FLAIR magnetic resonance.
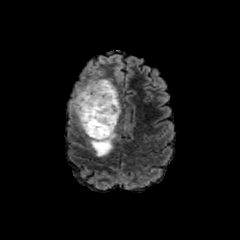
T1-weighted MRI.
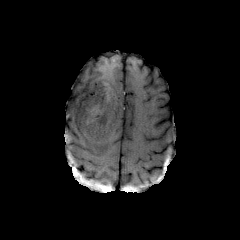
Post-contrast T1-weighted magnetic resonance.
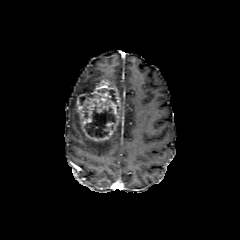
T2-weighted MR image.
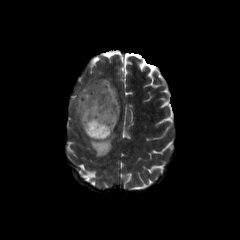
Axial plane.
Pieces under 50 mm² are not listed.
Annotated regions:
- peritumoral edema: box(69, 78, 104, 127); box(88, 130, 116, 156)
- enhancing tumor: box(76, 79, 120, 142)
- necrotic tumor core: box(101, 88, 116, 103); box(85, 107, 115, 137)